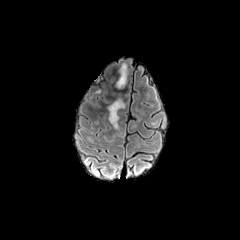
FLAIR magnetic resonance.
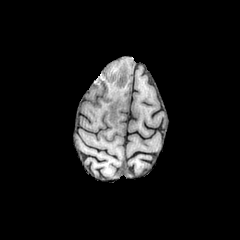
T1-weighted magnetic resonance.
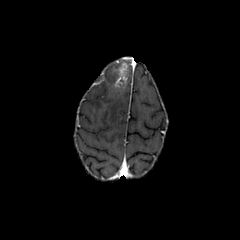
Post-contrast T1-weighted MRI of the same slice.
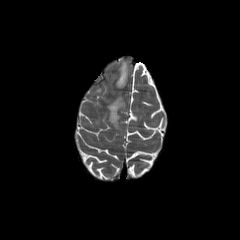
T2-weighted MR.
Axial plane
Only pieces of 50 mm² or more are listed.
The largest peritumoral edema region is located at 108:99:124:129. The enhancing tumor is bounded by 114:62:128:87.